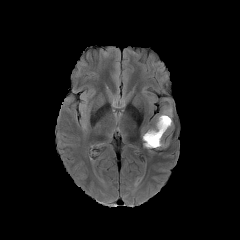
FLAIR magnetic resonance.
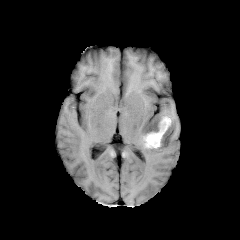
T1-weighted MRI.
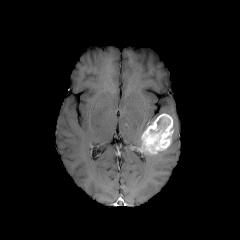
Same slice, post-contrast T1-weighted MR image.
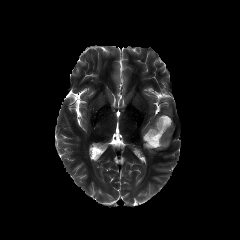
T2-weighted MRI of the same slice.
Brain, Axial slice
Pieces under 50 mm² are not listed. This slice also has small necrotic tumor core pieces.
The largest peritumoral edema region is bounded by <box>162,107,172,116</box>. The enhancing tumor is bounded by <box>141,113,173,154</box>.